Head
FLAIR MR.
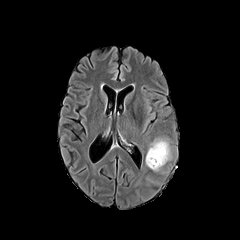
T1-weighted magnetic resonance.
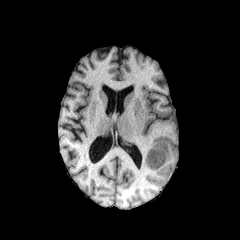
Post-contrast T1-weighted MR image.
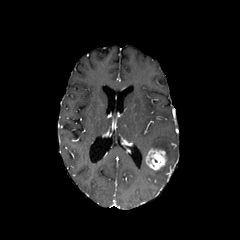
T2-weighted MR.
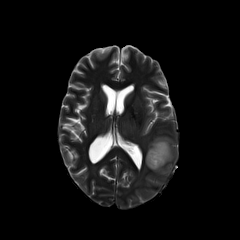
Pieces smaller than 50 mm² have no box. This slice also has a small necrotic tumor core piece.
peritumoral edema: bounding box bbox(149, 139, 171, 160)
enhancing tumor: bounding box bbox(145, 148, 166, 170)